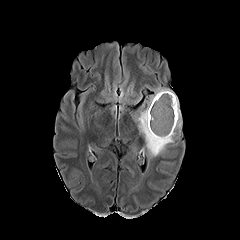
FLAIR magnetic resonance.
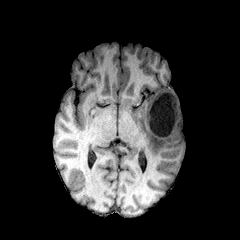
T1-weighted magnetic resonance of the same slice.
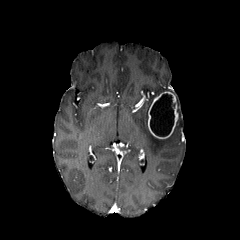
Same slice, post-contrast T1-weighted MR.
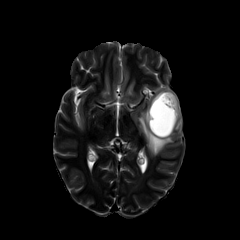
Same slice, T2-weighted MR image.
Image size 240x240, Axial plane
Segmented structures:
- necrotic tumor core: 150 93 175 136
- enhancing tumor: 148 91 178 138
- peritumoral edema: 137 87 176 156, 175 96 182 132